Head; Image size 240x240
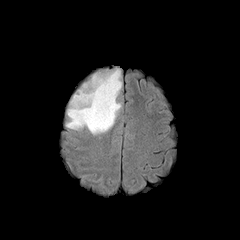
FLAIR MR image.
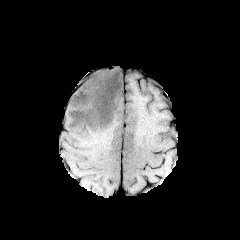
T1-weighted MR.
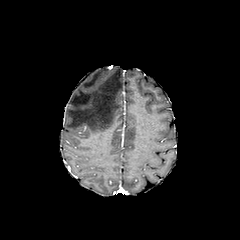
Post-contrast T1-weighted magnetic resonance of the same slice.
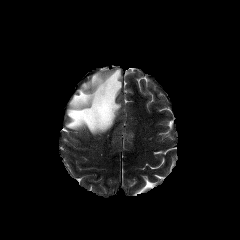
T2-weighted magnetic resonance.
Findings:
* peritumoral edema: 66, 68, 121, 134